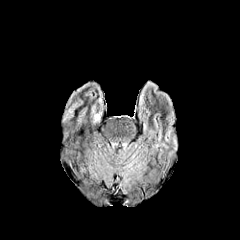
FLAIR MR image.
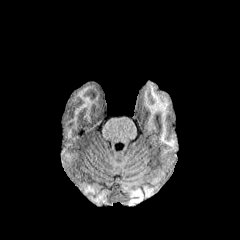
T1-weighted MRI.
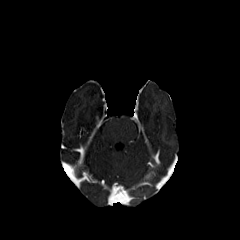
Post-contrast T1-weighted MRI.
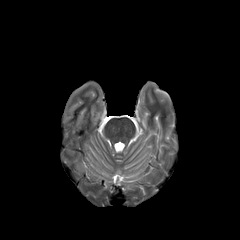
T2-weighted MR.
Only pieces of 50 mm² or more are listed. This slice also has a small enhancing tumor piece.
Findings:
• peritumoral edema: bbox=[92, 110, 100, 123]